FLAIR MR.
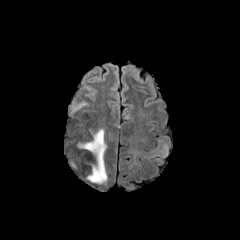
T1-weighted MRI.
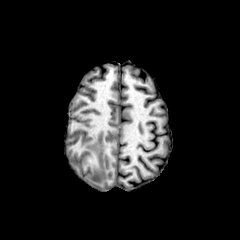
Post-contrast T1-weighted MRI.
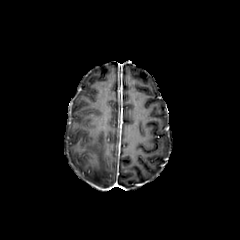
T2-weighted MR.
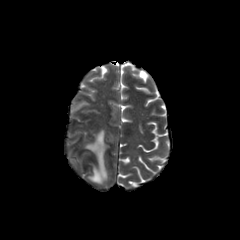
Axial view, Brain
The peritumoral edema appears at 78, 129, 107, 183.